Brain
FLAIR MR image.
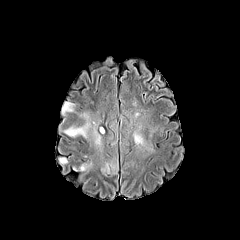
T1-weighted MR.
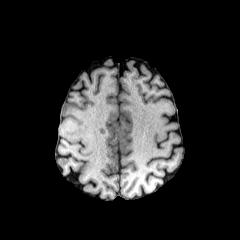
Post-contrast T1-weighted MRI.
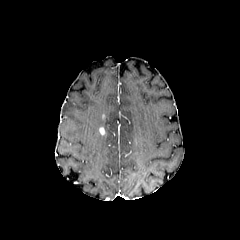
T2-weighted magnetic resonance.
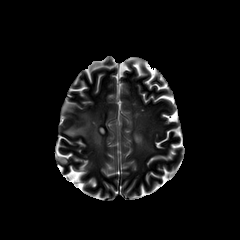
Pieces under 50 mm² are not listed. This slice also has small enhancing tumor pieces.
{"peritumoral_edema": ["box(65, 121, 90, 137)", "box(93, 127, 100, 145)", "box(133, 132, 144, 145)", "box(62, 102, 73, 113)"]}